FLAIR magnetic resonance.
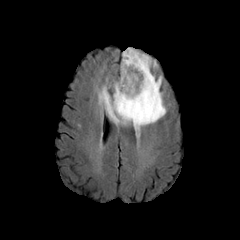
T1-weighted MRI.
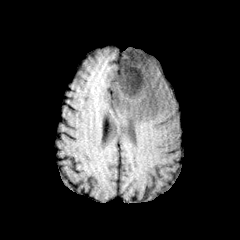
Post-contrast T1-weighted MR.
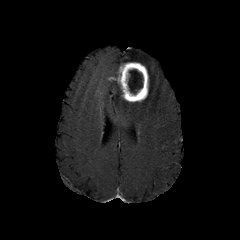
T2-weighted MRI.
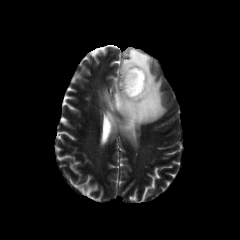
enhancing tumor = [113,62,149,102]
peritumoral edema = [99,48,166,131]
necrotic tumor core = [128,69,142,93]